Axial plane, Image width 240 mm, Slice 48 of 155, Brain
FLAIR magnetic resonance.
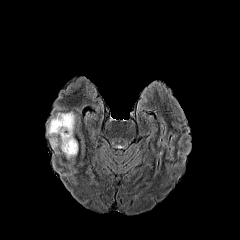
T1-weighted magnetic resonance.
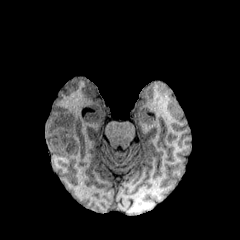
Post-contrast T1-weighted MR.
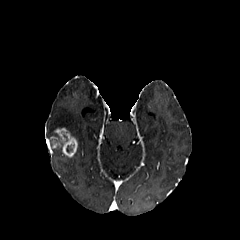
T2-weighted magnetic resonance.
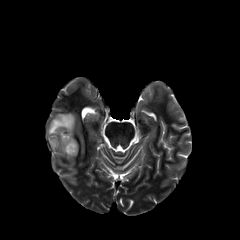
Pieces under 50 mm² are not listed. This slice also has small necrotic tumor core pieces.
peritumoral_edema:
  - (47, 112, 75, 136)
enhancing_tumor:
  - (51, 128, 77, 157)